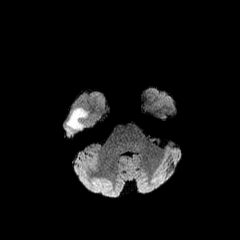
FLAIR MR.
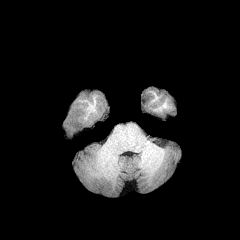
T1-weighted MRI of the same slice.
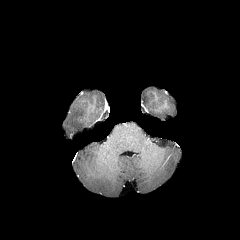
Post-contrast T1-weighted MR image of the same slice.
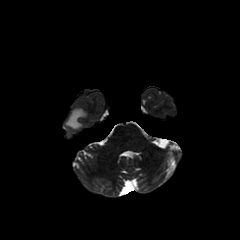
T2-weighted MRI.
peritumoral edema at (x1=68, y1=109, x2=85, y2=128)